Axial plane | Slice index 78
FLAIR magnetic resonance.
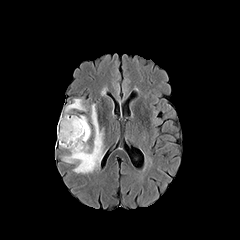
T1-weighted MR image.
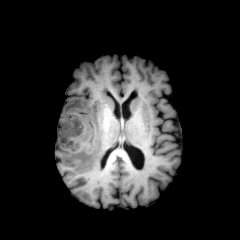
Post-contrast T1-weighted MRI.
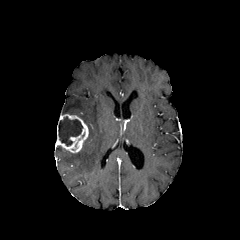
T2-weighted MR image.
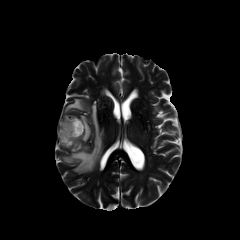
The enhancing tumor lies within bbox(56, 114, 88, 153). 2 peritumoral edema regions appear at bbox(62, 104, 103, 173); bbox(65, 98, 86, 112). The necrotic tumor core is bounded by bbox(58, 117, 82, 145).